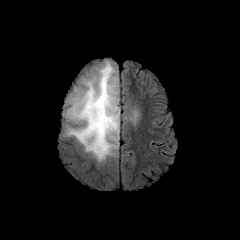
FLAIR MR.
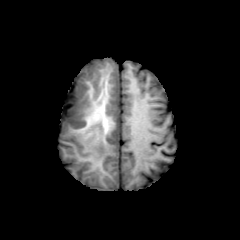
T1-weighted magnetic resonance.
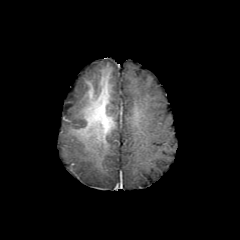
Same slice, post-contrast T1-weighted MR.
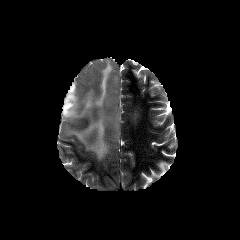
T2-weighted magnetic resonance of the same slice.
Axial plane
peritumoral_edema:
  - 63 59 120 162